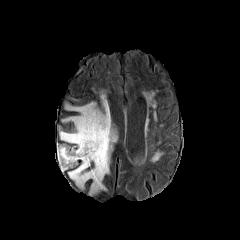
FLAIR MR image.
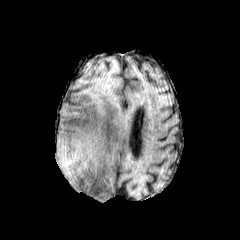
T1-weighted MR image of the same slice.
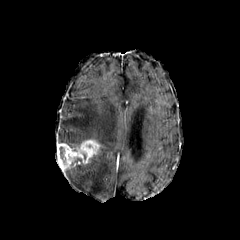
Post-contrast T1-weighted magnetic resonance.
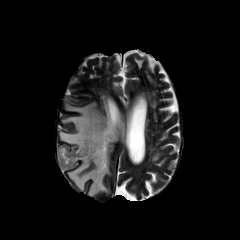
T2-weighted MR.
Axial plane, Brain, 240x240
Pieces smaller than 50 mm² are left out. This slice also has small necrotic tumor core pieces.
enhancing tumor = [x1=58, y1=139, x2=101, y2=170]
peritumoral edema = [x1=60, y1=95, x2=115, y2=194]